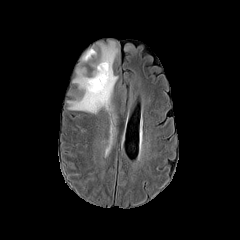
FLAIR MRI.
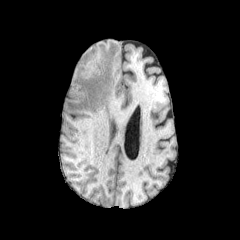
T1-weighted MR.
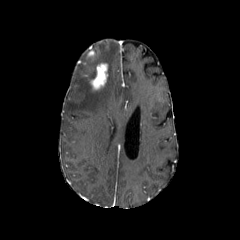
Post-contrast T1-weighted MR.
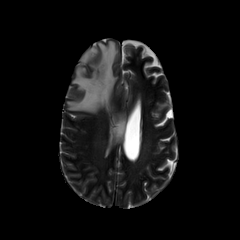
T2-weighted magnetic resonance.
Brain.
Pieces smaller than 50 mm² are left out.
enhancing tumor: bounding box left=90, top=63, right=107, bottom=90
peritumoral edema: bounding box left=82, top=48, right=96, bottom=61; left=67, top=41, right=117, bottom=113